Slice index 71
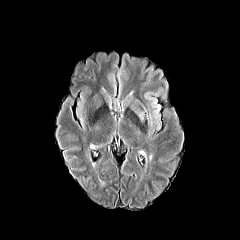
FLAIR magnetic resonance.
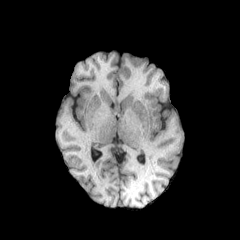
Same slice, T1-weighted magnetic resonance.
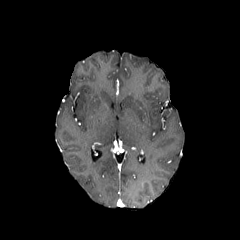
Post-contrast T1-weighted MRI.
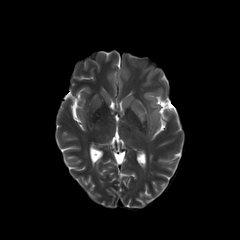
Same slice, T2-weighted magnetic resonance.
peritumoral edema at <bbox>123, 94, 133, 108</bbox>, <bbox>133, 106, 144, 122</bbox>